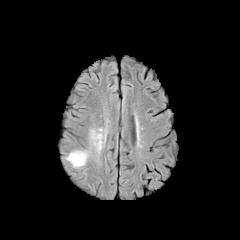
FLAIR magnetic resonance.
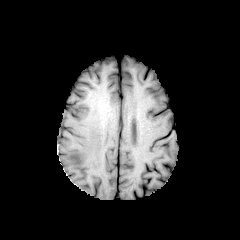
Same slice, T1-weighted MR image.
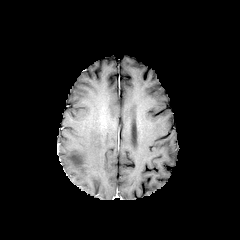
Post-contrast T1-weighted magnetic resonance.
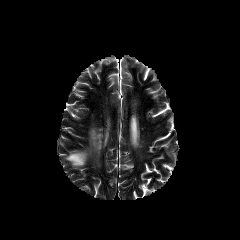
T2-weighted MR.
Brain
- peritumoral edema: rect(65, 151, 88, 166); rect(90, 130, 102, 152)